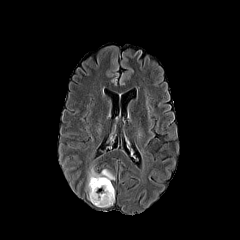
FLAIR MRI.
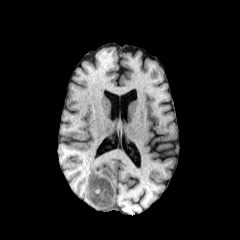
T1-weighted MR image of the same slice.
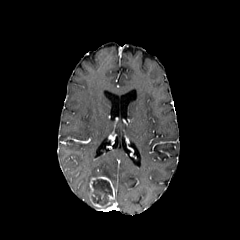
Post-contrast T1-weighted MR of the same slice.
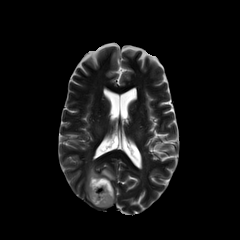
T2-weighted magnetic resonance.
Axial view
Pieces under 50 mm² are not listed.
peritumoral edema — [86, 166, 115, 200]
enhancing tumor — [89, 176, 114, 208]
necrotic tumor core — [92, 179, 112, 205]